FLAIR MR.
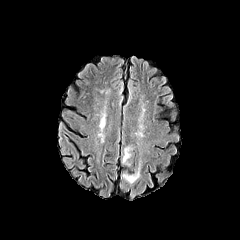
T1-weighted MRI.
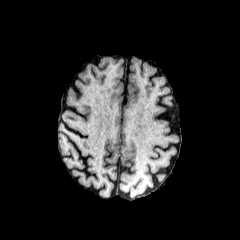
Post-contrast T1-weighted MR.
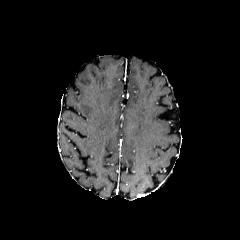
T2-weighted MR image.
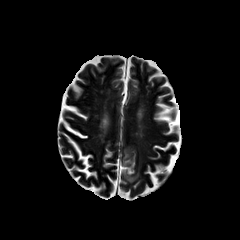
Brain
2 peritumoral edema regions are located at left=122, top=160, right=140, bottom=183; left=122, top=146, right=132, bottom=165.